FLAIR MRI.
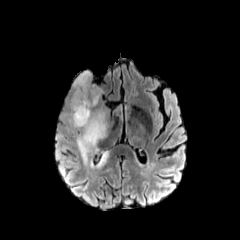
T1-weighted magnetic resonance.
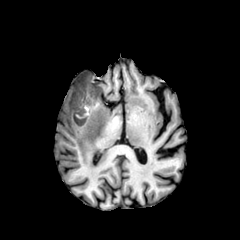
Post-contrast T1-weighted MR image.
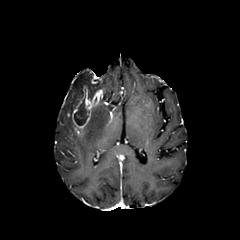
T2-weighted MR.
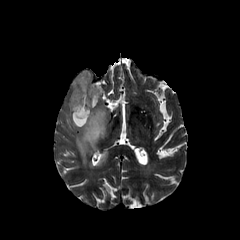
Axial plane
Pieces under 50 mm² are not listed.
{
  "enhancing_tumor": [
    "[67, 85, 103, 130]"
  ],
  "peritumoral_edema": [
    "[66, 71, 101, 111]",
    "[67, 106, 107, 163]",
    "[96, 151, 108, 167]"
  ],
  "necrotic_tumor_core": [
    "[74, 98, 89, 125]"
  ]
}